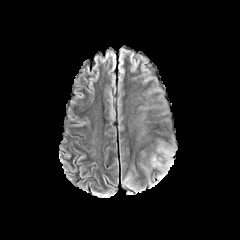
FLAIR MR image.
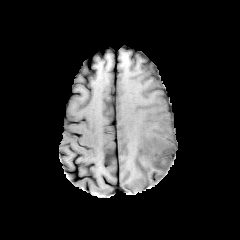
Same slice, T1-weighted MR.
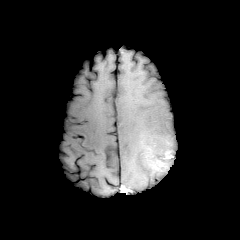
Post-contrast T1-weighted MR.
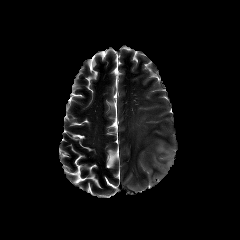
T2-weighted magnetic resonance of the same slice.
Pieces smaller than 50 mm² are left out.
The enhancing tumor appears at box=[153, 149, 173, 171]. The largest peritumoral edema region is at box=[151, 146, 174, 165].